Slice index 51; Image size 240x240
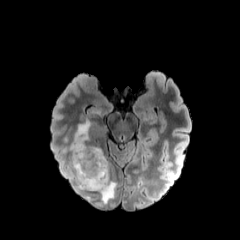
FLAIR MR.
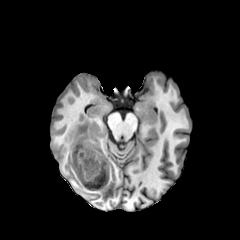
Same slice, T1-weighted MRI.
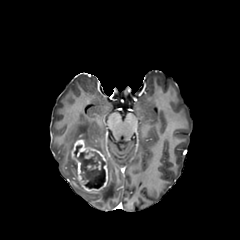
Post-contrast T1-weighted MR image.
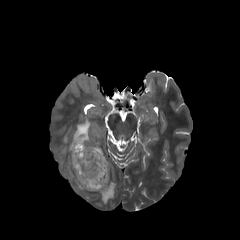
T2-weighted MRI.
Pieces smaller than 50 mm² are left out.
Annotated regions:
• enhancing tumor: (left=71, top=139, right=107, bottom=191)
• necrotic tumor core: (left=74, top=145, right=105, bottom=188)
• peritumoral edema: (left=98, top=160, right=116, bottom=203), (left=61, top=120, right=103, bottom=180), (left=75, top=181, right=86, bottom=193)